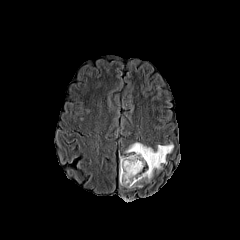
FLAIR magnetic resonance.
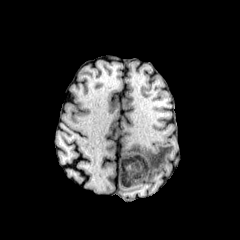
T1-weighted MR image.
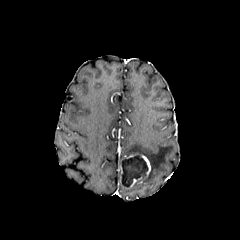
Same slice, post-contrast T1-weighted MR.
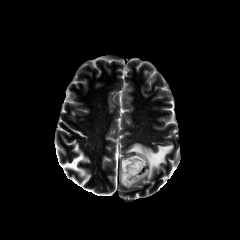
T2-weighted MRI of the same slice.
Brain
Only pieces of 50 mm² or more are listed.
2 enhancing tumor regions are bounded by left=119, top=154, right=139, bottom=186; left=124, top=155, right=150, bottom=188. The necrotic tumor core lies within left=122, top=155, right=147, bottom=186. The largest peritumoral edema region is bounded by left=125, top=142, right=173, bottom=181.